FLAIR MR.
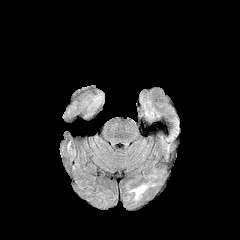
T1-weighted magnetic resonance.
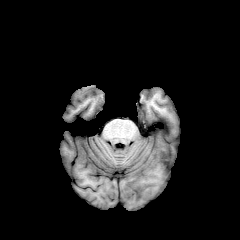
Post-contrast T1-weighted MR image.
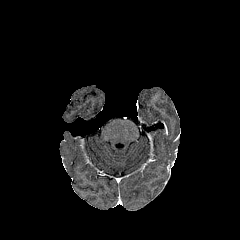
T2-weighted magnetic resonance.
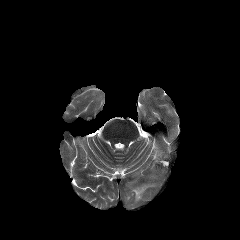
Axial slice
Segmented structures:
• peritumoral edema: (x1=132, y1=185, x2=146, y2=199)